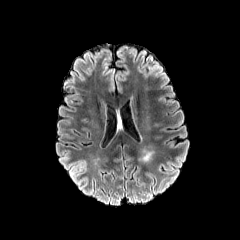
FLAIR magnetic resonance.
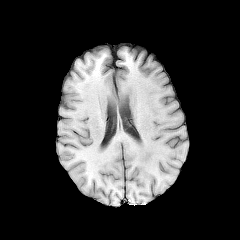
Same slice, T1-weighted magnetic resonance.
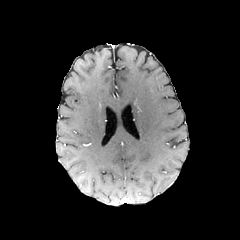
Post-contrast T1-weighted MR image.
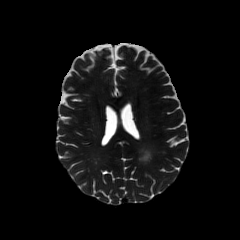
T2-weighted MR image.
Axial plane
peritumoral_edema:
  - <bbox>140, 150, 151, 161</bbox>